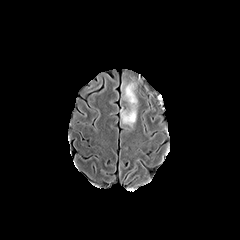
FLAIR MRI.
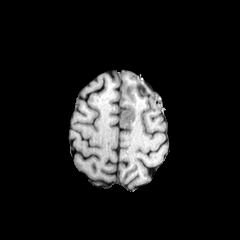
T1-weighted magnetic resonance.
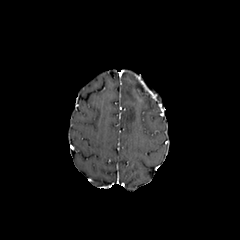
Post-contrast T1-weighted MR.
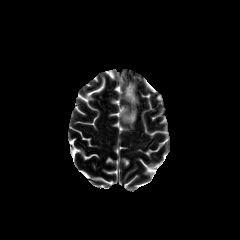
Same slice, T2-weighted MRI.
240x240 px | Axial view | Head
<segmentation>
  <peritumoral_edema>left=120, top=82, right=138, bottom=129</peritumoral_edema>
</segmentation>